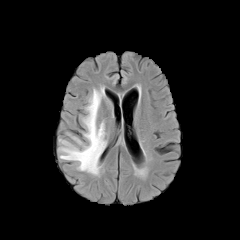
FLAIR MRI.
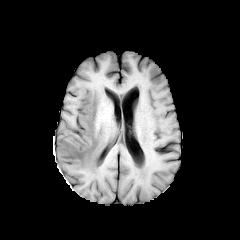
T1-weighted magnetic resonance.
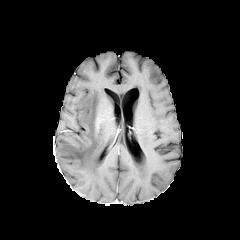
Post-contrast T1-weighted magnetic resonance.
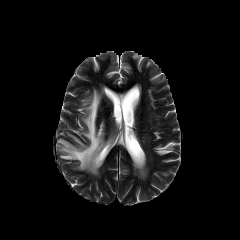
T2-weighted MRI.
Axial slice
peritumoral_edema:
  - (x1=58, y1=88, x2=106, y2=175)